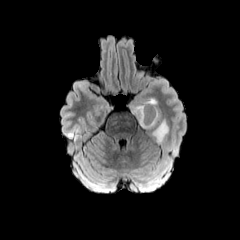
FLAIR MRI.
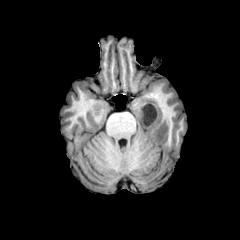
T1-weighted magnetic resonance of the same slice.
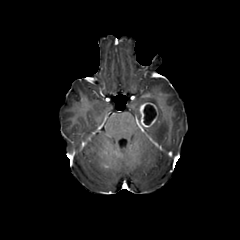
Same slice, post-contrast T1-weighted magnetic resonance.
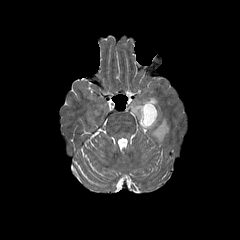
T2-weighted MR image.
necrotic tumor core: 143,104,156,124 | enhancing tumor: 139,102,158,128 | peritumoral edema: 132,97,157,122; 143,108,168,143